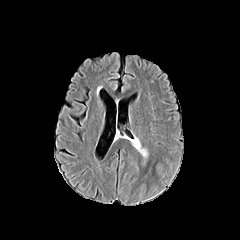
FLAIR magnetic resonance.
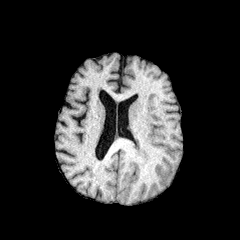
Same slice, T1-weighted MR image.
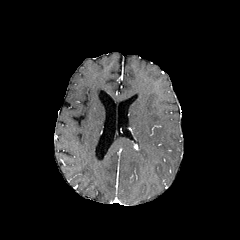
Post-contrast T1-weighted MR image.
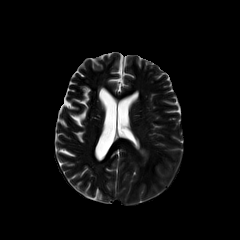
T2-weighted MR image.
Image size 240x240
peritumoral edema: {"x1": 137, "y1": 140, "x2": 147, "y2": 157}